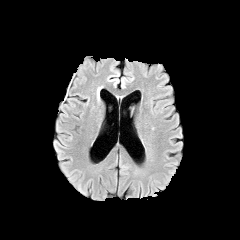
FLAIR MR image.
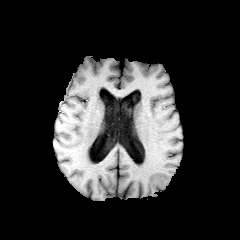
T1-weighted MRI.
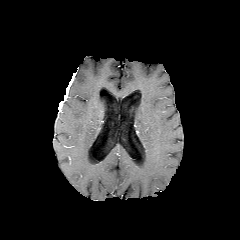
Post-contrast T1-weighted MR.
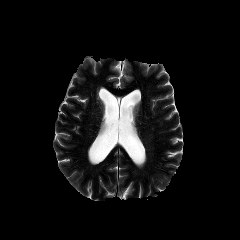
T2-weighted MR image of the same slice.
Head
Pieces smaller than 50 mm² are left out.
<segmentation>
  <enhancing_tumor>64,73,75,100</enhancing_tumor>
</segmentation>